FLAIR MRI.
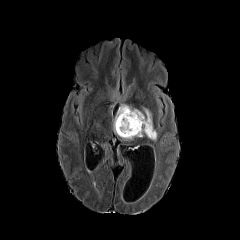
T1-weighted magnetic resonance.
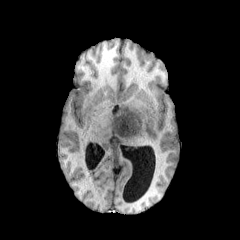
Post-contrast T1-weighted MR.
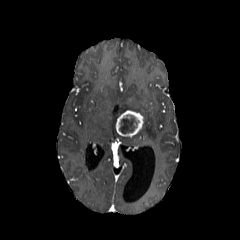
T2-weighted magnetic resonance.
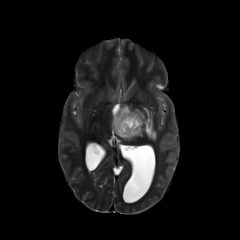
Axial slice
The peritumoral edema is bounded by (x1=113, y1=104, x2=157, y2=141). The necrotic tumor core is located at (x1=119, y1=114, x2=139, y2=133). The enhancing tumor is bounded by (x1=115, y1=110, x2=143, y2=137).